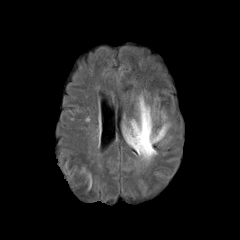
FLAIR MRI.
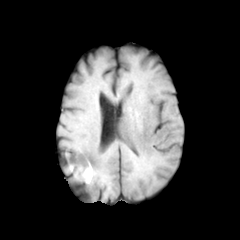
T1-weighted MRI.
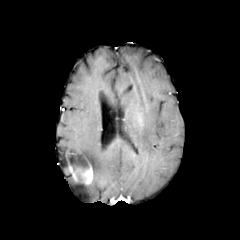
Post-contrast T1-weighted MR.
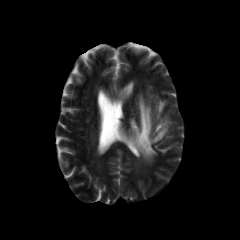
T2-weighted MR.
Image size 240x240
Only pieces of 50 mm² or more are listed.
{"peritumoral_edema": ["box=[123, 93, 170, 163]"]}